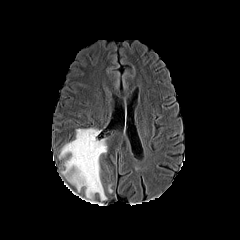
FLAIR MRI.
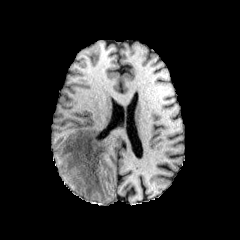
T1-weighted MR image.
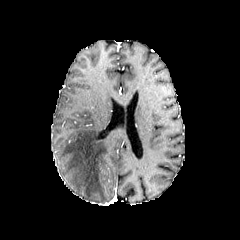
Post-contrast T1-weighted MRI of the same slice.
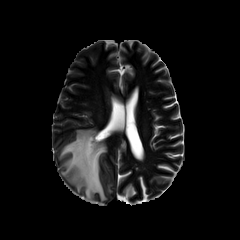
T2-weighted MR image of the same slice.
Head. Axial slice.
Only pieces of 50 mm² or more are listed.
* peritumoral edema: 59, 128, 107, 201